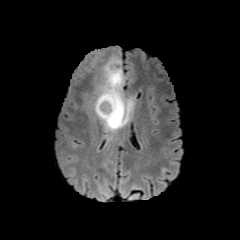
FLAIR MR image.
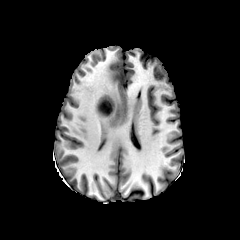
T1-weighted MR of the same slice.
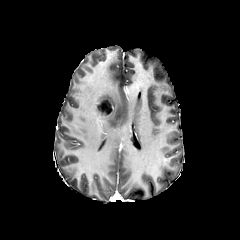
Post-contrast T1-weighted magnetic resonance.
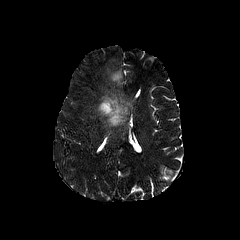
T2-weighted MR of the same slice.
240x240 px; Axial slice
enhancing tumor — (left=95, top=99, right=113, bottom=116)
peritumoral edema — (left=94, top=59, right=134, bottom=141)
necrotic tumor core — (left=98, top=100, right=112, bottom=114)